Head; Slice 95 of 155
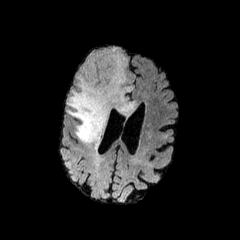
FLAIR magnetic resonance.
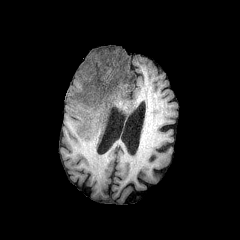
Same slice, T1-weighted magnetic resonance.
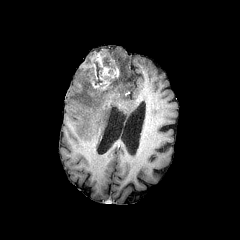
Post-contrast T1-weighted MR.
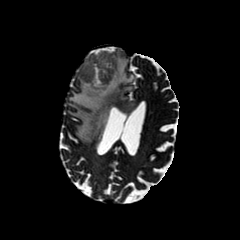
Same slice, T2-weighted MR.
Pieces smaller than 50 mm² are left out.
peritumoral edema: bbox=[67, 47, 136, 145]
necrotic tumor core: bbox=[94, 61, 102, 84]; bbox=[103, 56, 114, 68]
enhancing tumor: bbox=[82, 49, 120, 105]